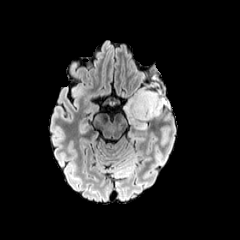
FLAIR MRI.
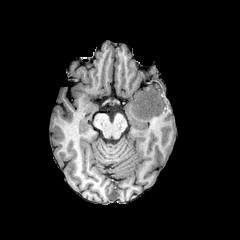
T1-weighted MRI.
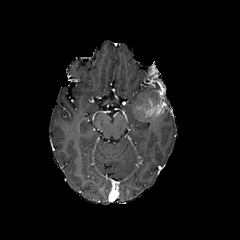
Same slice, post-contrast T1-weighted MR.
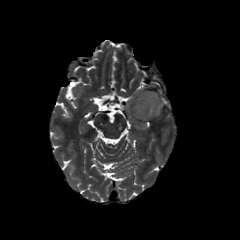
T2-weighted MR.
Axial plane, Brain
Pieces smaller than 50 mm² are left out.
{
  "necrotic_tumor_core": [
    "bbox=[141, 101, 150, 110]",
    "bbox=[151, 94, 160, 106]"
  ],
  "enhancing_tumor": [
    "bbox=[134, 91, 166, 119]"
  ],
  "peritumoral_edema": [
    "bbox=[123, 87, 155, 129]"
  ]
}